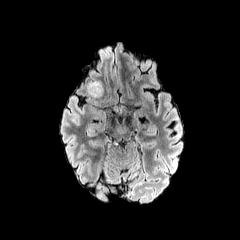
FLAIR magnetic resonance.
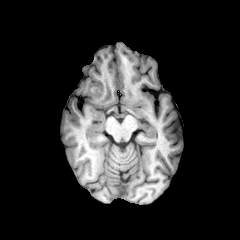
T1-weighted MR image.
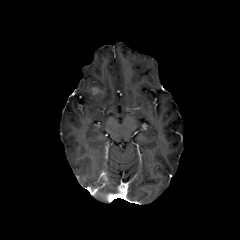
Post-contrast T1-weighted magnetic resonance.
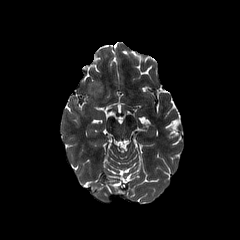
Same slice, T2-weighted magnetic resonance.
peritumoral_edema:
  - {"x1": 87, "y1": 81, "x2": 103, "y2": 97}
enhancing_tumor:
  - {"x1": 89, "y1": 86, "x2": 102, "y2": 95}